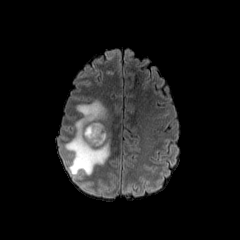
FLAIR MR.
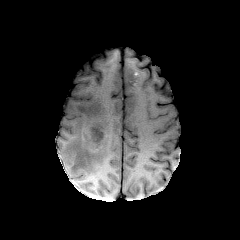
Same slice, T1-weighted MR image.
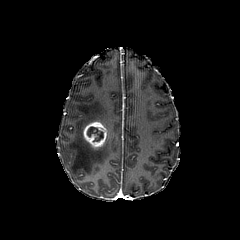
Post-contrast T1-weighted magnetic resonance.
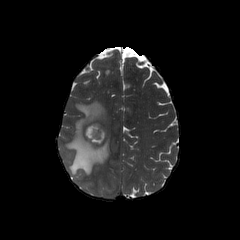
T2-weighted magnetic resonance.
Head, Axial plane, 240x240 px
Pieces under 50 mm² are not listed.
<segmentation>
  <enhancing_tumor>83:121:107:148</enhancing_tumor>
  <necrotic_tumor_core>87:127:103:141</necrotic_tumor_core>
  <peritumoral_edema>65:99:111:174</peritumoral_edema>
</segmentation>